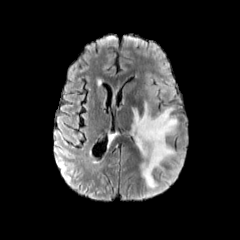
FLAIR magnetic resonance.
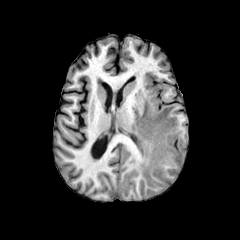
T1-weighted MRI.
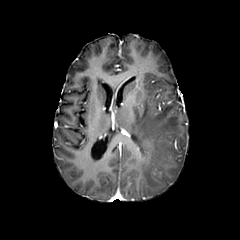
Post-contrast T1-weighted MRI of the same slice.
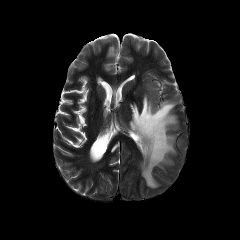
Same slice, T2-weighted MR.
Head; 240x240 px
peritumoral edema: 131:102:177:188